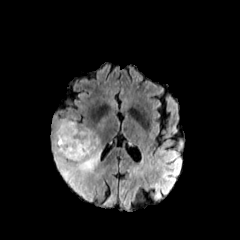
FLAIR MR.
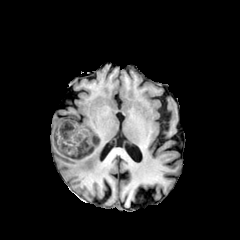
Same slice, T1-weighted MR image.
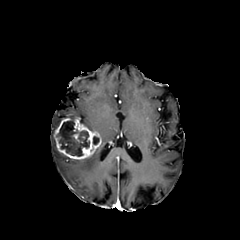
Same slice, post-contrast T1-weighted magnetic resonance.
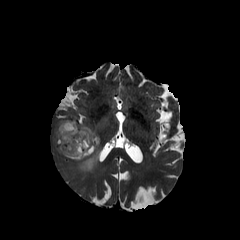
T2-weighted magnetic resonance.
Head
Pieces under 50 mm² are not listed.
necrotic tumor core — <box>57,120,89,156</box>
peritumoral edema — <box>98,115,107,127</box>, <box>50,118,102,201</box>
enhancing tumor — <box>53,114,101,159</box>